FLAIR MR image.
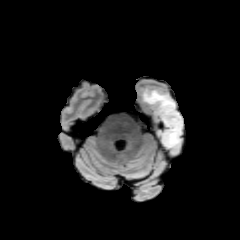
T1-weighted MRI.
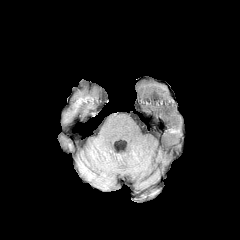
Post-contrast T1-weighted MR.
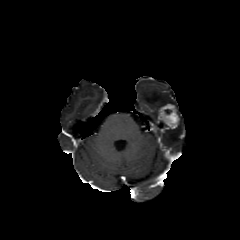
T2-weighted magnetic resonance.
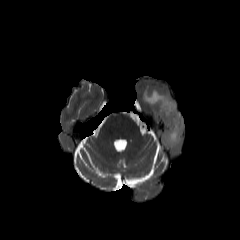
Head.
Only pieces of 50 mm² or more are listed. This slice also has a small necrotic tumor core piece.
The enhancing tumor is located at 159,104,179,128. 2 peritumoral edema regions are located at 158,111,182,149; 142,88,175,117.